Head, Axial plane, Image width 240 mm, Image size 240x240
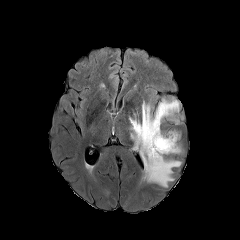
FLAIR MRI.
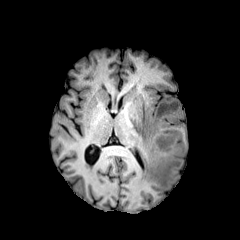
T1-weighted MR image.
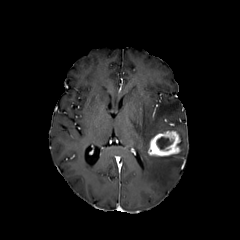
Post-contrast T1-weighted MR of the same slice.
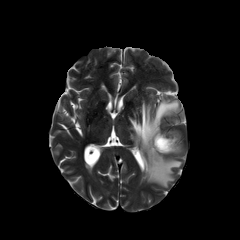
T2-weighted magnetic resonance of the same slice.
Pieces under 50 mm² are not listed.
necrotic tumor core at 157:137:172:149
enhancing tumor at 148:131:180:156
peritumoral edema at 129:99:181:187